FLAIR magnetic resonance.
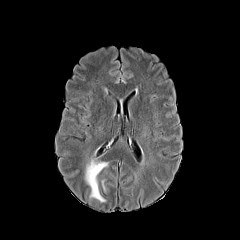
T1-weighted magnetic resonance.
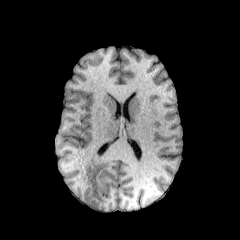
Post-contrast T1-weighted MR image.
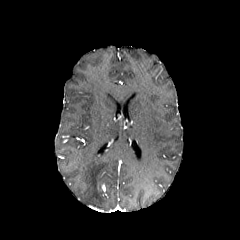
T2-weighted magnetic resonance.
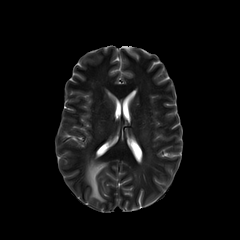
Image size 240x240
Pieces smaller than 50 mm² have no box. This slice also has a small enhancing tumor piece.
peritumoral edema — box(85, 158, 108, 202)